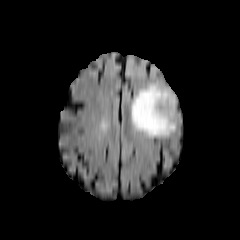
FLAIR MRI.
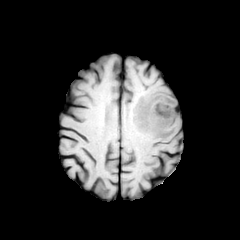
T1-weighted MRI.
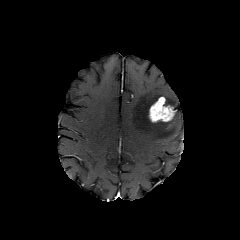
Post-contrast T1-weighted MR image.
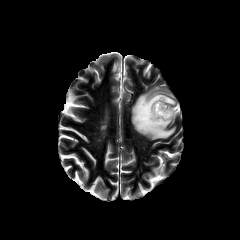
T2-weighted MR image.
Head, 240x240 px
The peritumoral edema appears at x1=131 y1=83 x2=177 y2=138. The enhancing tumor lies within x1=148 y1=96 x2=176 y2=122.